FLAIR MR image.
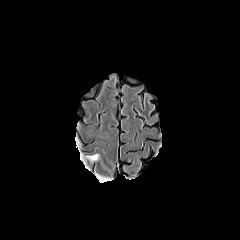
T1-weighted magnetic resonance.
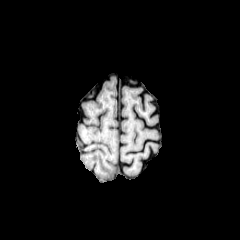
Post-contrast T1-weighted magnetic resonance.
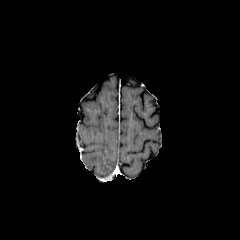
T2-weighted MRI.
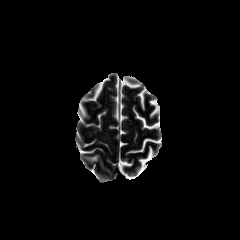
Head | Axial plane | 240x240 px
peritumoral edema: <bbox>86, 154, 98, 161</bbox>